Slice index 100; Brain; Image width 240 mm, 1.00 mm slice spacing; Axial slice
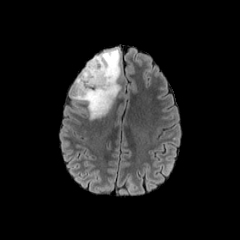
FLAIR MR image.
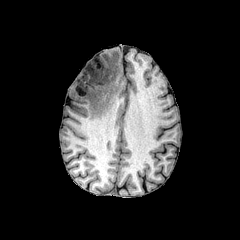
T1-weighted magnetic resonance of the same slice.
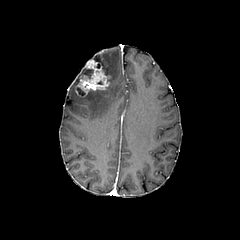
Post-contrast T1-weighted MR image.
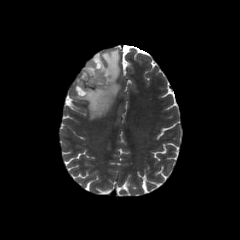
T2-weighted MR image.
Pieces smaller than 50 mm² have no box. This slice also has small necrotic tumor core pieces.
enhancing tumor = [x1=75, y1=59, x2=110, y2=97]
peritumoral edema = [x1=73, y1=49, x2=120, y2=119], [x1=80, y1=68, x2=92, y2=77]